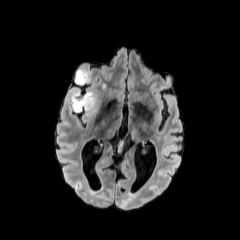
FLAIR magnetic resonance.
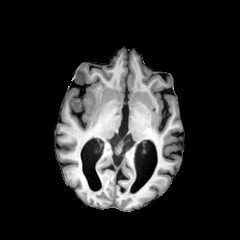
T1-weighted magnetic resonance.
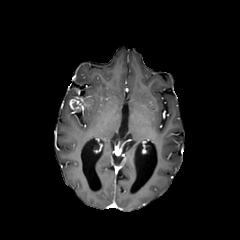
Post-contrast T1-weighted MR.
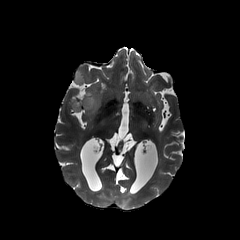
T2-weighted MR image.
Brain, 240x240
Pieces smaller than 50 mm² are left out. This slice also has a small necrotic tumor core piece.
The enhancing tumor lies within bbox=[69, 89, 90, 110]. The 2 largest peritumoral edema regions are bounded by bbox=[72, 92, 94, 118]; bbox=[75, 70, 88, 84].